Axial plane. 240x240 px.
FLAIR MR image.
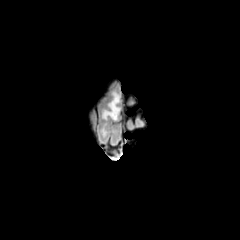
T1-weighted MR.
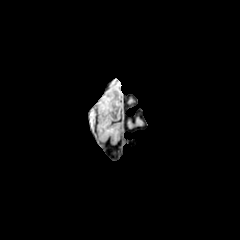
Post-contrast T1-weighted MRI.
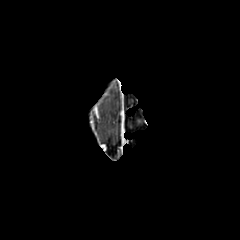
T2-weighted MRI.
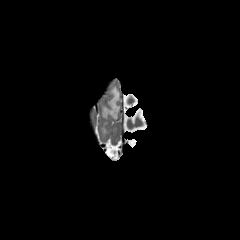
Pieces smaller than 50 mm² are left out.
The 2 largest peritumoral edema regions are located at 101 122 108 137, 102 88 120 120.